Axial slice, Brain
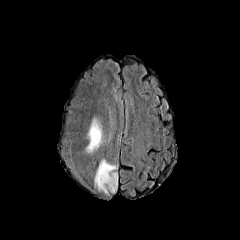
FLAIR MRI.
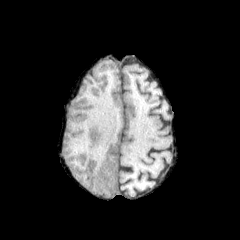
T1-weighted magnetic resonance.
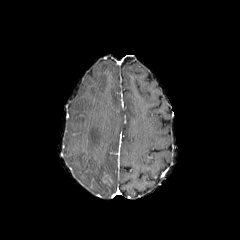
Same slice, post-contrast T1-weighted MR image.
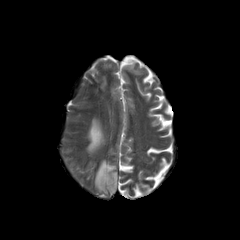
T2-weighted MR image.
peritumoral edema: bounding box rect(94, 158, 118, 195); rect(84, 115, 103, 152)
enhancing tumor: bounding box rect(102, 173, 112, 185)